240x240. Head. Slice index 72.
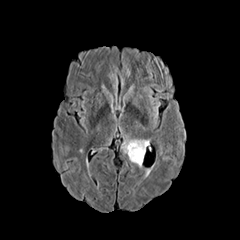
FLAIR magnetic resonance.
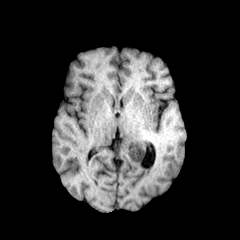
T1-weighted MR.
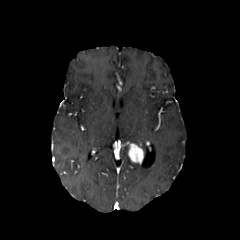
Post-contrast T1-weighted magnetic resonance.
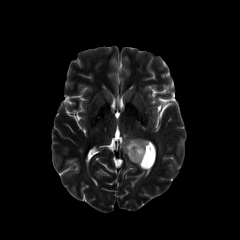
T2-weighted MR.
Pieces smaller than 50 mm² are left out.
enhancing tumor: bounding box (left=128, top=143, right=144, bottom=164)
peritumoral edema: bounding box (left=124, top=140, right=146, bottom=151)